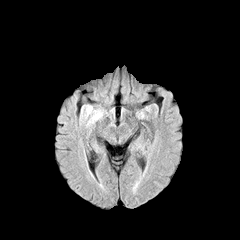
FLAIR MR image.
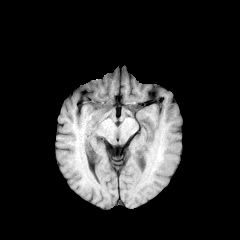
T1-weighted MR.
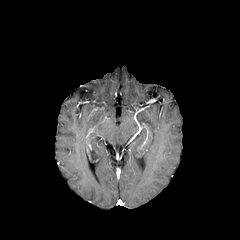
Post-contrast T1-weighted MR image.
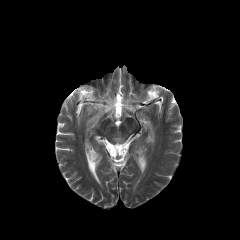
T2-weighted MRI.
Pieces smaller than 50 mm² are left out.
peritumoral edema: (78,104,91,123), (87,110,102,127)